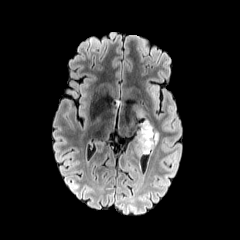
FLAIR MR image.
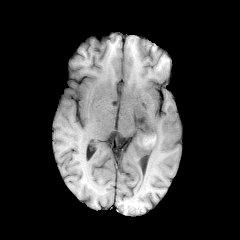
T1-weighted MRI.
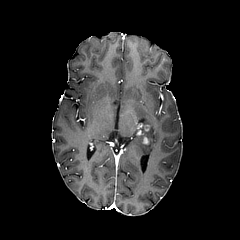
Post-contrast T1-weighted magnetic resonance.
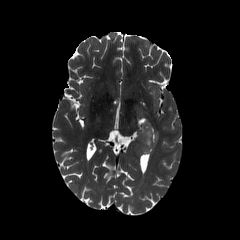
Same slice, T2-weighted MR image.
Brain.
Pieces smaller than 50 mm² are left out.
{"peritumoral_edema": ["<bbox>139, 121, 158, 153</bbox>"], "enhancing_tumor": ["<bbox>143, 136, 149, 144</bbox>"]}